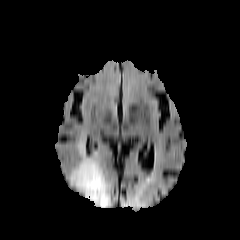
FLAIR MR.
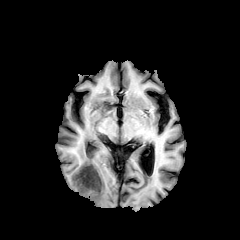
Same slice, T1-weighted magnetic resonance.
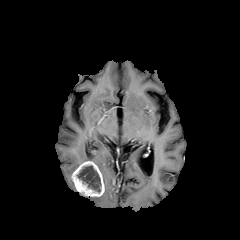
Post-contrast T1-weighted MR.
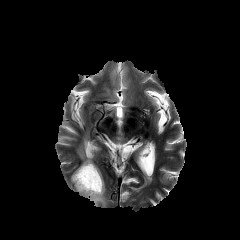
T2-weighted magnetic resonance of the same slice.
Head. 240x240.
Findings:
• enhancing tumor: 71 161 104 196
• necrotic tumor core: 77 165 101 192
• peritumoral edema: 70 139 111 207